FLAIR MRI.
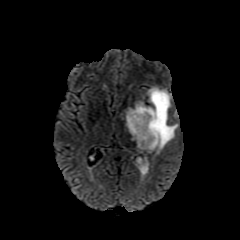
T1-weighted MRI.
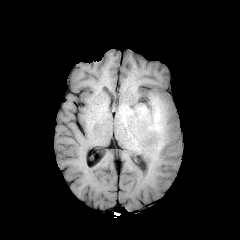
Post-contrast T1-weighted MR image.
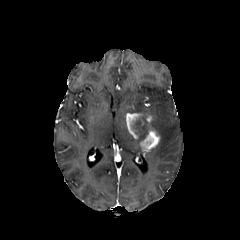
T2-weighted MRI.
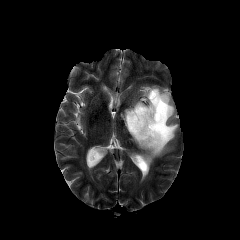
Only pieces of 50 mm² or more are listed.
* peritumoral edema: [x1=123, y1=86, x2=178, y2=156]
* enhancing tumor: [x1=126, y1=113, x2=144, y2=139], [x1=140, y1=115, x2=160, y2=152]